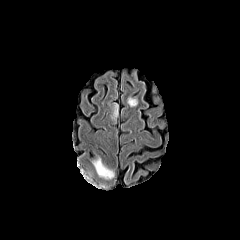
FLAIR MR.
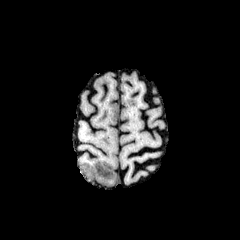
T1-weighted MR of the same slice.
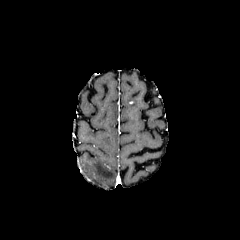
Post-contrast T1-weighted magnetic resonance.
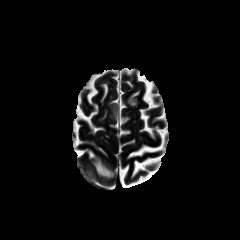
T2-weighted MR.
Brain; Axial view
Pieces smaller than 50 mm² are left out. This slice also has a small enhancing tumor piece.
{
  "peritumoral_edema": [
    "x1=110 y1=102 x2=118 y2=124",
    "x1=89 y1=154 x2=115 y2=180",
    "x1=127 y1=96 x2=137 y2=107"
  ]
}